Axial slice
FLAIR MR.
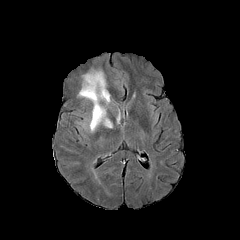
T1-weighted MR image.
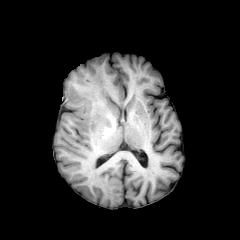
Post-contrast T1-weighted magnetic resonance.
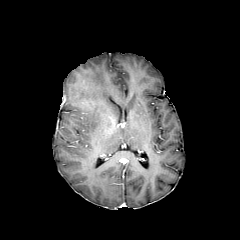
T2-weighted MR.
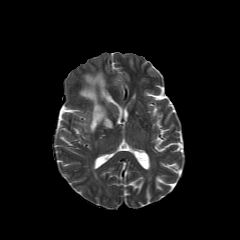
The peritumoral edema is located at (79, 72, 112, 131).